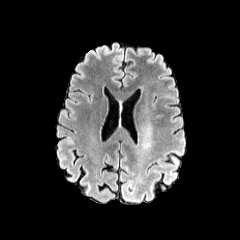
FLAIR MR image.
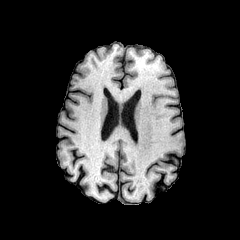
Same slice, T1-weighted MRI.
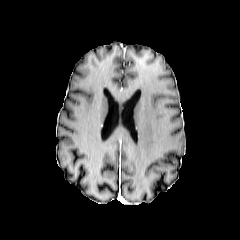
Post-contrast T1-weighted MR of the same slice.
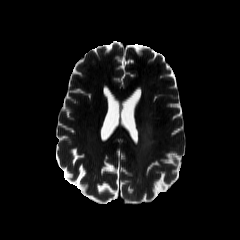
T2-weighted MR image.
The peritumoral edema is bounded by bbox(143, 126, 151, 146).